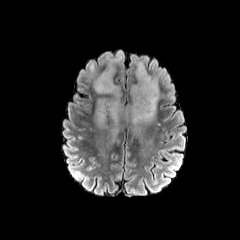
FLAIR MRI.
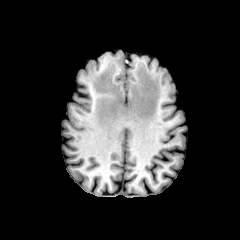
T1-weighted magnetic resonance of the same slice.
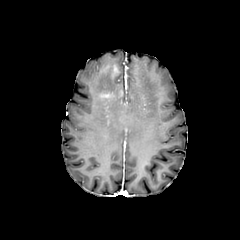
Post-contrast T1-weighted magnetic resonance of the same slice.
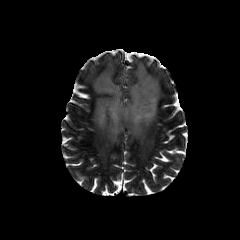
T2-weighted MRI.
Head
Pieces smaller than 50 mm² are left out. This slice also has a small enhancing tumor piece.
peritumoral edema at (x1=94, y1=57, x2=159, y2=135)